FLAIR MR.
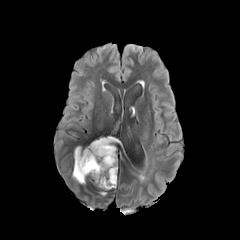
T1-weighted MRI.
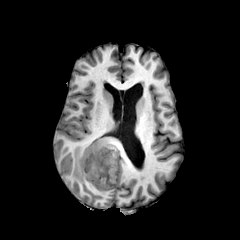
Post-contrast T1-weighted MR image.
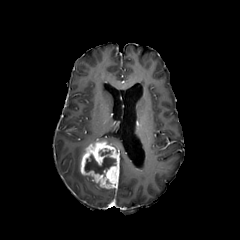
T2-weighted MRI.
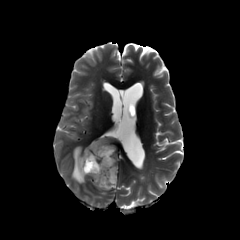
Axial plane
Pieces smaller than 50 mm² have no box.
necrotic_tumor_core:
  - (84,155,115,174)
enhancing_tumor:
  - (80,141,119,188)
peritumoral_edema:
  - (96,136,118,144)
  - (72,146,85,183)